Image size 240x240, Brain
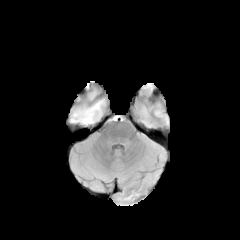
FLAIR magnetic resonance.
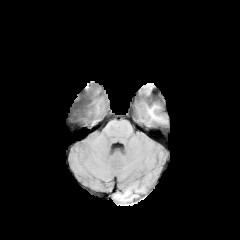
T1-weighted MR image.
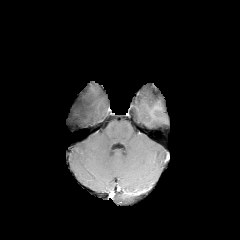
Same slice, post-contrast T1-weighted MR.
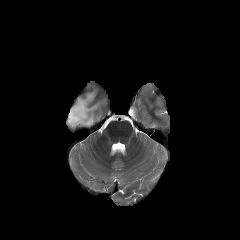
T2-weighted magnetic resonance of the same slice.
* peritumoral edema: 66,82,107,126